Axial plane
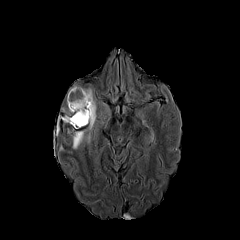
FLAIR MR.
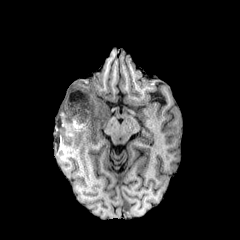
T1-weighted magnetic resonance.
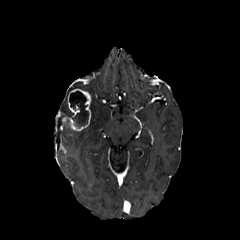
Post-contrast T1-weighted MRI of the same slice.
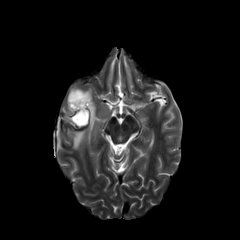
Same slice, T2-weighted MR.
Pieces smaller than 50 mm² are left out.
enhancing tumor = box=[63, 88, 91, 130]
necrotic tumor core = box=[69, 91, 88, 127]
peritumoral edema = box=[61, 107, 70, 116]; box=[67, 85, 96, 149]